Head.
FLAIR magnetic resonance.
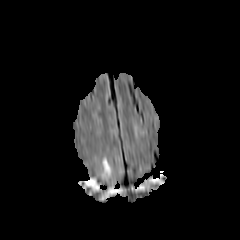
T1-weighted MR.
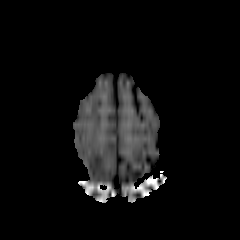
Post-contrast T1-weighted MR image.
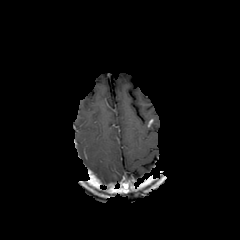
T2-weighted MRI.
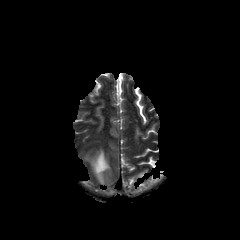
<segmentation>
  <peritumoral_edema>region(99, 156, 111, 179)</peritumoral_edema>
</segmentation>